FLAIR MR.
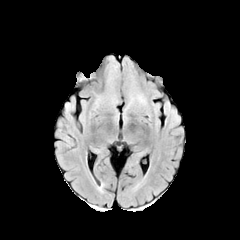
T1-weighted magnetic resonance.
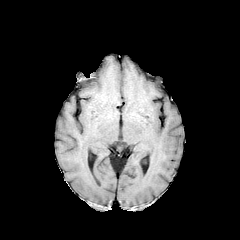
Post-contrast T1-weighted MR.
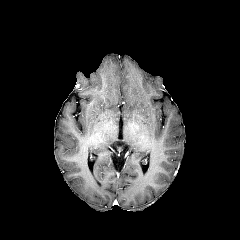
T2-weighted MRI.
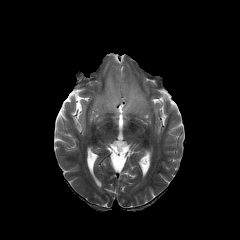
Axial view.
peritumoral edema = bbox(110, 94, 118, 105); bbox(107, 76, 112, 90); bbox(125, 80, 146, 112)